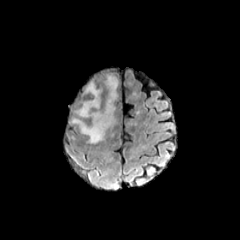
FLAIR MRI.
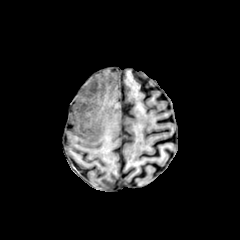
T1-weighted MR image of the same slice.
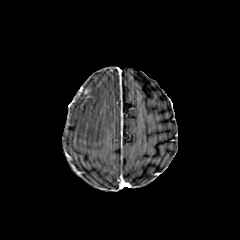
Same slice, post-contrast T1-weighted MR.
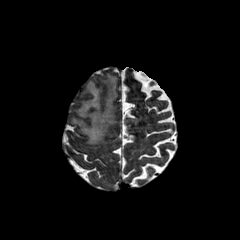
T2-weighted MR image.
Image size 240x240
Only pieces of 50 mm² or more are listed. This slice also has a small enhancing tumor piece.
peritumoral_edema:
  - l=72, t=75, r=117, b=143